FLAIR magnetic resonance.
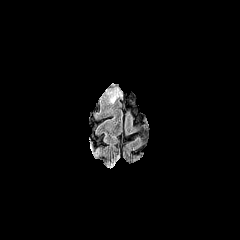
T1-weighted MRI.
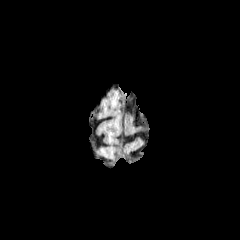
Post-contrast T1-weighted MRI.
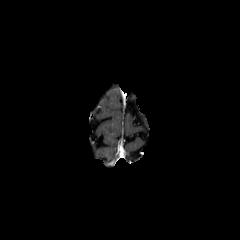
T2-weighted MRI.
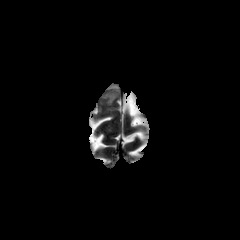
Axial plane. Brain. Image size 240x240.
peritumoral edema — left=110, top=90, right=118, bottom=102